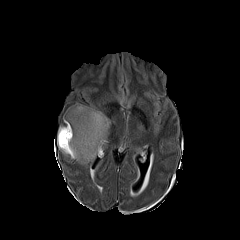
FLAIR MR image.
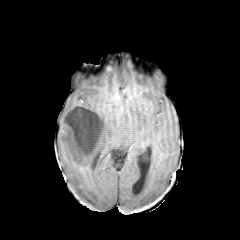
Same slice, T1-weighted MRI.
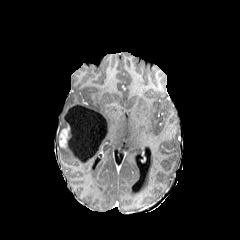
Same slice, post-contrast T1-weighted MRI.
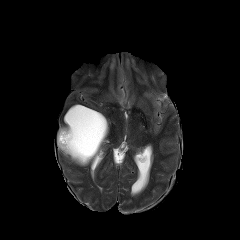
Same slice, T2-weighted magnetic resonance.
Image size 240x240
enhancing tumor at 59:125:70:147
necrotic tumor core at 65:105:106:162
peritumoral edema at 57:115:97:165, 75:103:110:150